FLAIR MR.
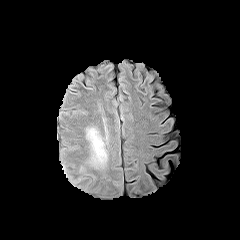
T1-weighted magnetic resonance.
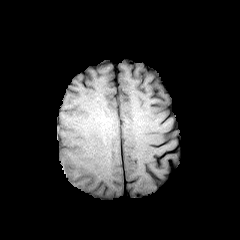
Post-contrast T1-weighted MR.
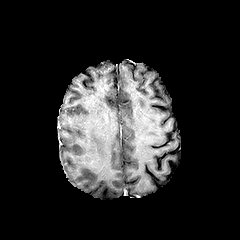
T2-weighted MR.
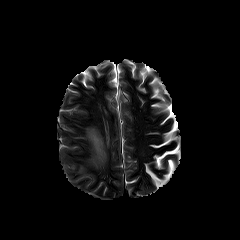
Axial slice
peritumoral edema = left=88, top=128, right=105, bottom=161